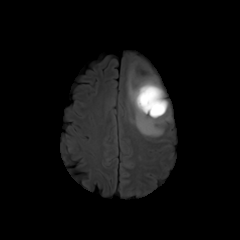
FLAIR magnetic resonance.
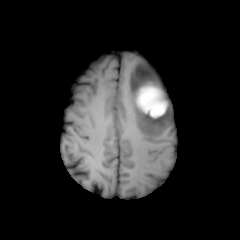
T1-weighted MR image.
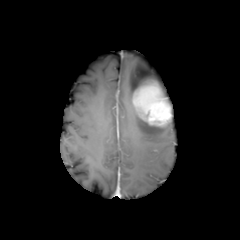
Post-contrast T1-weighted magnetic resonance.
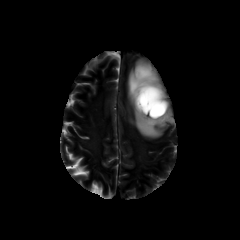
T2-weighted MR image of the same slice.
240x240; Axial plane
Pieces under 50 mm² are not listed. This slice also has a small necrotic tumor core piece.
peritumoral edema = [127, 60, 168, 138]
enhancing tumor = [133, 79, 171, 126]